Slice 67/155, Brain, Axial slice
FLAIR MR image.
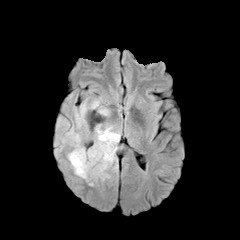
T1-weighted magnetic resonance.
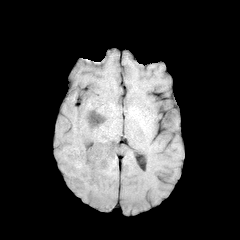
Post-contrast T1-weighted MRI.
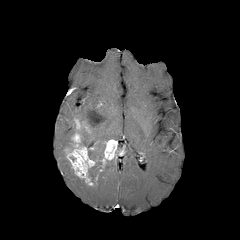
T2-weighted MR image.
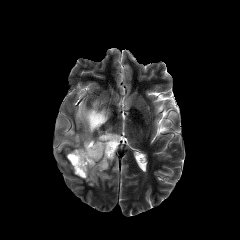
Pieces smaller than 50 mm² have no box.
Segmented structures:
* necrotic tumor core: <bbox>88, 159, 101, 182</bbox>
* peritumoral edema: <bbox>98, 156, 118, 181</bbox>, <bbox>55, 99, 121, 160</bbox>
* enhancing tumor: <bbox>64, 133, 98, 185</bbox>, <bbox>99, 139, 117, 171</bbox>